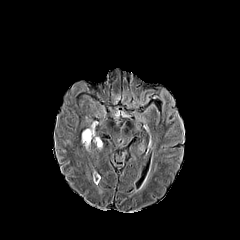
FLAIR MRI.
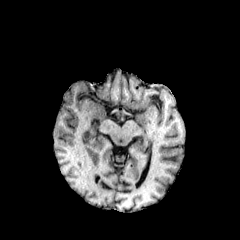
Same slice, T1-weighted MRI.
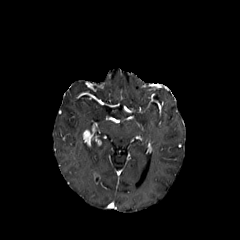
Post-contrast T1-weighted MRI.
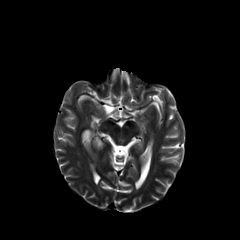
T2-weighted MR image of the same slice.
Brain
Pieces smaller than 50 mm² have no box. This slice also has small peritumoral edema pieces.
enhancing tumor: [93, 174, 100, 184], [83, 130, 93, 145]